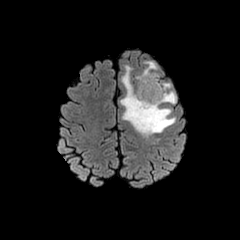
FLAIR MR image.
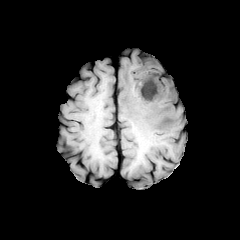
T1-weighted magnetic resonance.
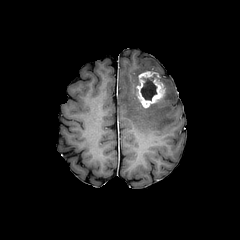
Post-contrast T1-weighted magnetic resonance of the same slice.
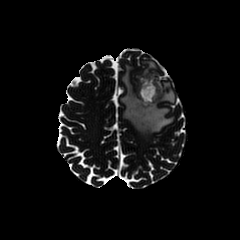
T2-weighted MRI.
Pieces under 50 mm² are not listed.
peritumoral_edema:
  - {"x1": 141, "y1": 61, "x2": 157, "y2": 72}
  - {"x1": 120, "y1": 65, "x2": 175, "y2": 136}
necrotic_tumor_core:
  - {"x1": 141, "y1": 74, "x2": 158, "y2": 100}
enhancing_tumor:
  - {"x1": 137, "y1": 71, "x2": 165, "y2": 107}